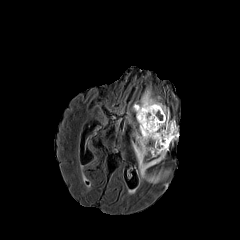
FLAIR MR.
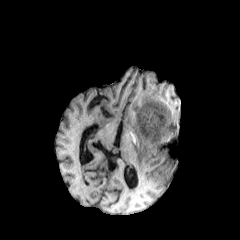
T1-weighted MR of the same slice.
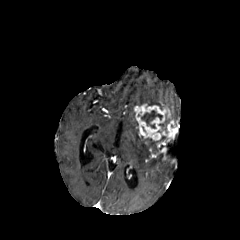
Post-contrast T1-weighted MR image.
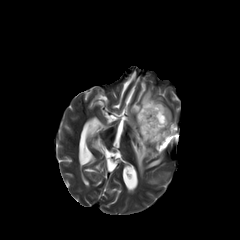
T2-weighted MRI of the same slice.
240x240.
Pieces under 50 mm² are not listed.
The largest enhancing tumor region is bounded by [x1=134, y1=103, x2=177, y2=158]. The 3 largest peritumoral edema regions appear at [x1=132, y1=130, x2=165, y2=177], [x1=148, y1=174, x2=160, y2=182], [x1=132, y1=88, x2=162, y2=110]. The largest necrotic tumor core region lies within [x1=141, y1=110, x2=162, y2=128].